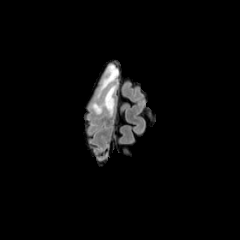
FLAIR MR.
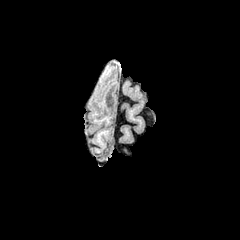
Same slice, T1-weighted MR image.
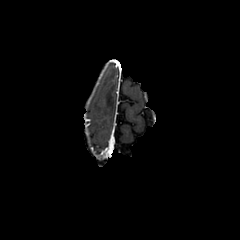
Post-contrast T1-weighted MR image of the same slice.
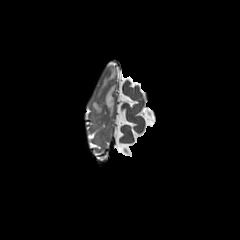
T2-weighted MR image of the same slice.
Findings:
- peritumoral edema: <box>96,63,118,98</box>, <box>92,85,115,115</box>